Head, Axial view, Slice 71/155
FLAIR MR.
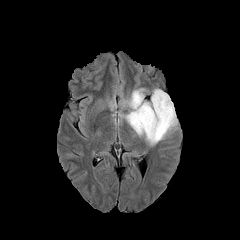
T1-weighted MR.
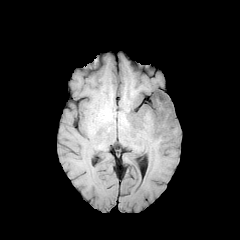
Post-contrast T1-weighted magnetic resonance.
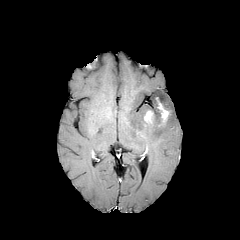
T2-weighted MRI.
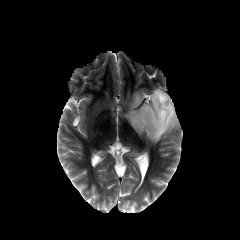
• peritumoral edema: (124,88,177,144)
• enhancing tumor: (144,110,154,123), (156,97,170,124)